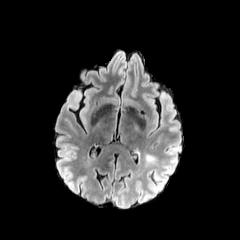
FLAIR MR.
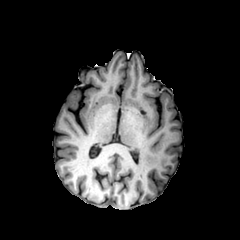
Same slice, T1-weighted MR.
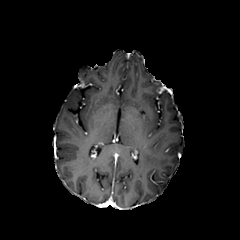
Same slice, post-contrast T1-weighted magnetic resonance.
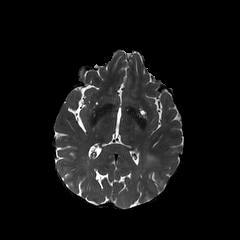
T2-weighted magnetic resonance.
Axial slice.
The peritumoral edema appears at x1=144, y1=153, x2=155, y2=163.